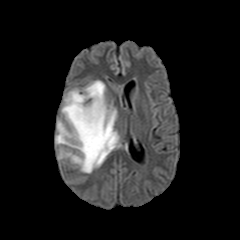
FLAIR MRI.
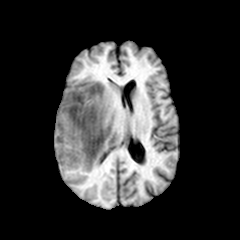
Same slice, T1-weighted MR.
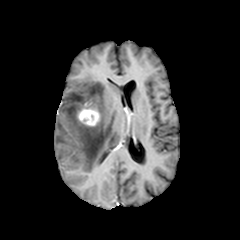
Post-contrast T1-weighted MR image.
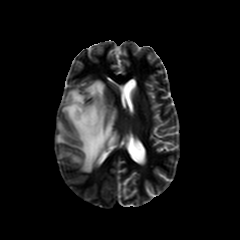
Same slice, T2-weighted MR.
Brain | Axial plane
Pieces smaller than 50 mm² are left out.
The largest enhancing tumor region is bounded by x1=78, y1=106, x2=99, y2=126. The peritumoral edema is at x1=55, y1=80, x2=119, y2=172.